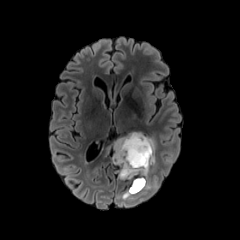
FLAIR MR image.
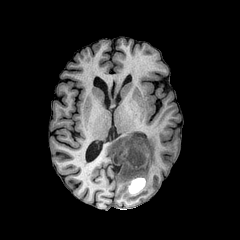
T1-weighted MR.
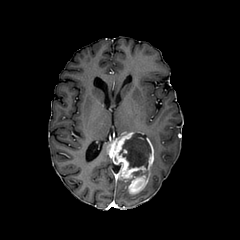
Post-contrast T1-weighted MR image of the same slice.
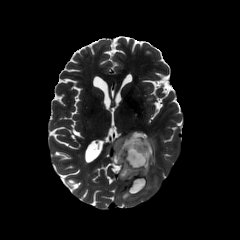
T2-weighted MR image.
Axial slice.
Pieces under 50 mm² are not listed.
Segmented structures:
- enhancing tumor: x1=107, y1=131, x2=154, y2=193
- peritumoral edema: x1=143, y1=180, x2=154, y2=190; x1=122, y1=191, x2=134, y2=199; x1=148, y1=137, x2=156, y2=166
- necrotic tumor core: x1=119, y1=133, x2=151, y2=168